240x240 px, Image width 240 mm, Brain, Slice 89 of 155
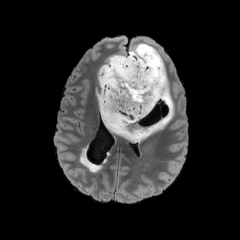
FLAIR MRI.
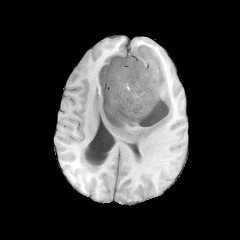
T1-weighted MR of the same slice.
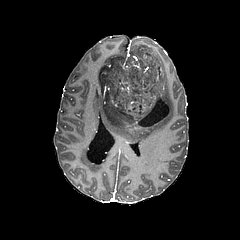
Post-contrast T1-weighted MRI.
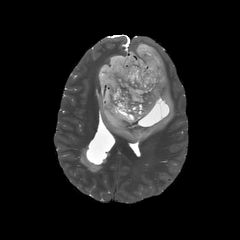
T2-weighted MR image.
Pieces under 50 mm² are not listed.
<segmentation>
  <peritumoral_edema>[96,43,173,142]</peritumoral_edema>
  <necrotic_tumor_core>[100,51,171,127]</necrotic_tumor_core>
</segmentation>